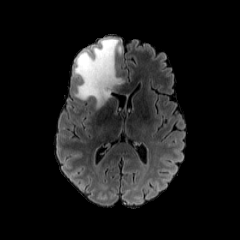
FLAIR MRI.
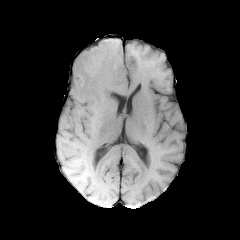
T1-weighted MRI of the same slice.
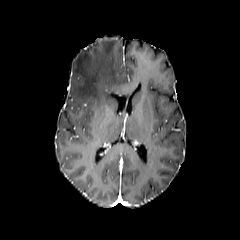
Same slice, post-contrast T1-weighted MRI.
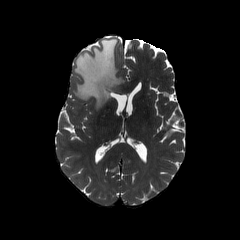
T2-weighted MR.
Axial view, Head
The peritumoral edema is at <box>74,38,124,109</box>.